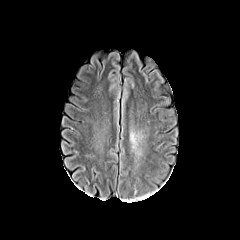
FLAIR magnetic resonance.
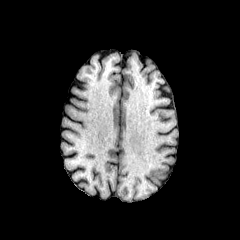
Same slice, T1-weighted magnetic resonance.
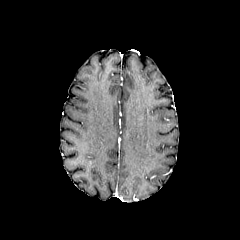
Post-contrast T1-weighted magnetic resonance of the same slice.
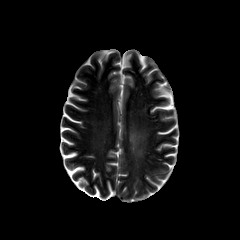
Same slice, T2-weighted magnetic resonance.
Brain.
peritumoral_edema:
  - region(130, 133, 136, 147)